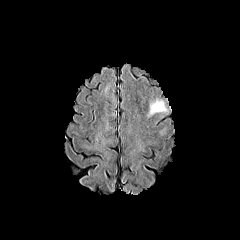
FLAIR MR image.
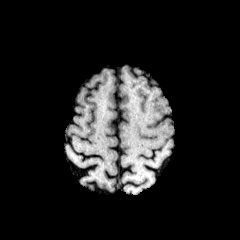
T1-weighted MRI of the same slice.
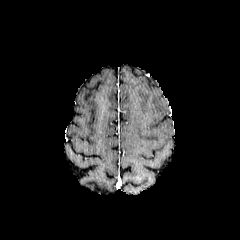
Post-contrast T1-weighted MRI of the same slice.
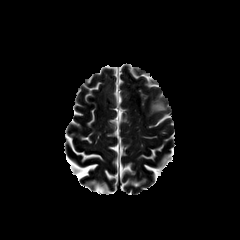
T2-weighted MR image.
Axial plane; Brain
peritumoral edema: bbox(148, 99, 166, 116)